FLAIR MRI.
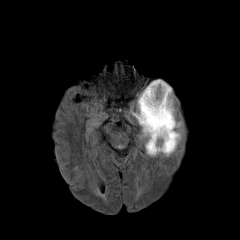
T1-weighted magnetic resonance.
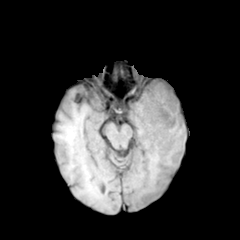
Post-contrast T1-weighted MRI.
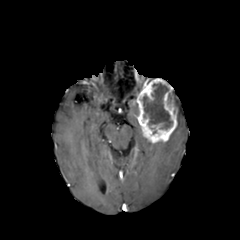
T2-weighted MR image.
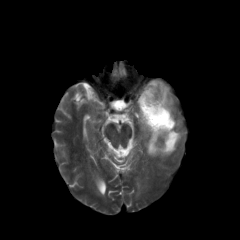
Brain; Axial slice
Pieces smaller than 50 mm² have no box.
necrotic tumor core = (143,83,172,129)
enhancing tumor = (136,79,177,143)
peritumoral edema = (145,121,182,156)